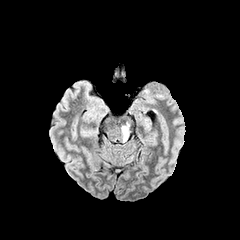
FLAIR magnetic resonance.
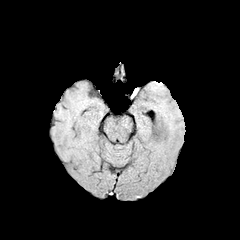
T1-weighted magnetic resonance.
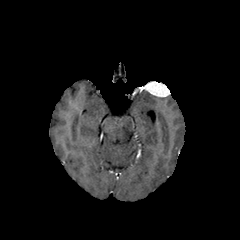
Post-contrast T1-weighted MR image.
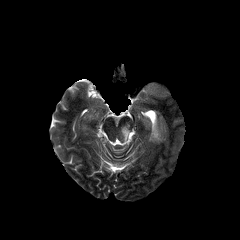
T2-weighted MR image.
240x240 px; Axial slice; Head
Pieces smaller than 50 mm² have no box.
peritumoral edema = [x1=121, y1=123, x2=129, y2=142]